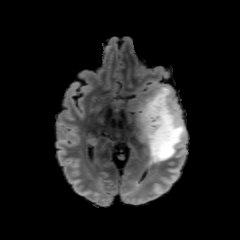
FLAIR MR image.
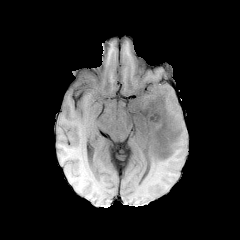
T1-weighted MR.
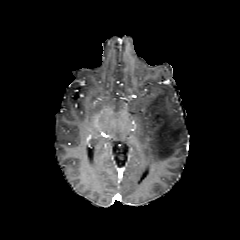
Post-contrast T1-weighted MR of the same slice.
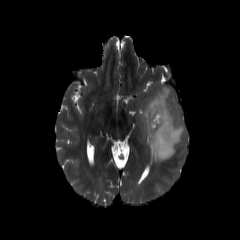
T2-weighted MR.
Axial slice
Segmented structures:
- peritumoral edema: 137,85,186,163